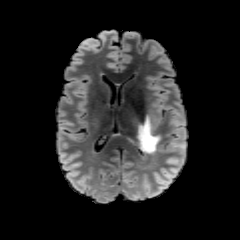
FLAIR magnetic resonance.
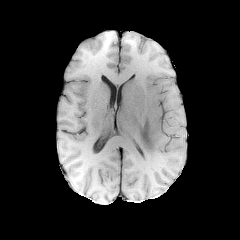
T1-weighted MRI of the same slice.
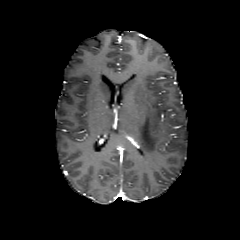
Post-contrast T1-weighted MR.
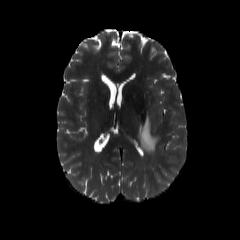
T2-weighted magnetic resonance of the same slice.
Brain.
peritumoral edema = left=138, top=116, right=160, bottom=153